240x240. Slice 107/155.
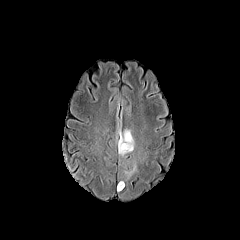
FLAIR MR image.
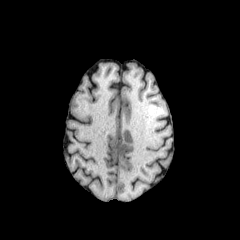
T1-weighted MR image of the same slice.
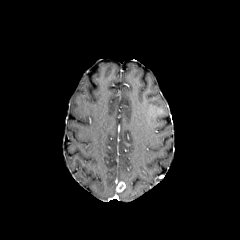
Post-contrast T1-weighted MR.
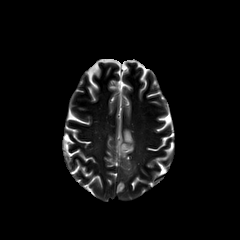
T2-weighted MR.
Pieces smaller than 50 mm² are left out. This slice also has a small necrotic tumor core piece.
Findings:
• enhancing tumor: bbox=[117, 182, 125, 191]
• peritumoral edema: bbox=[123, 161, 136, 180]; bbox=[118, 129, 134, 157]